FLAIR MR image.
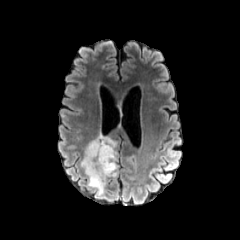
T1-weighted MRI.
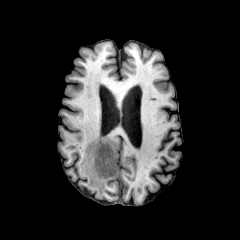
Post-contrast T1-weighted MR image.
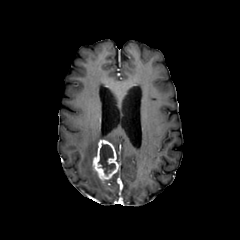
T2-weighted MRI.
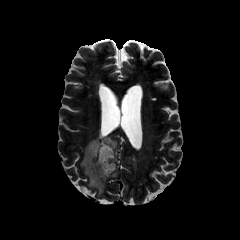
Axial plane
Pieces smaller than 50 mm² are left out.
peritumoral edema: (left=81, top=133, right=117, bottom=196) | enhancing tumor: (left=92, top=140, right=118, bottom=182) | necrotic tumor core: (left=98, top=143, right=115, bottom=174)